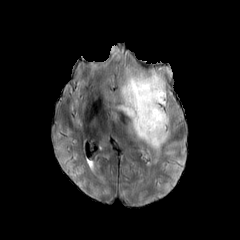
FLAIR MR image.
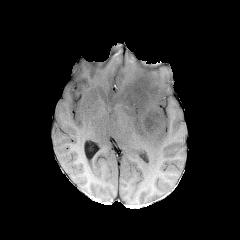
T1-weighted magnetic resonance of the same slice.
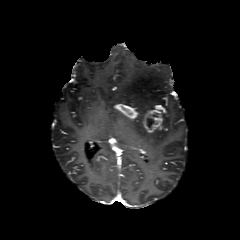
Post-contrast T1-weighted MR.
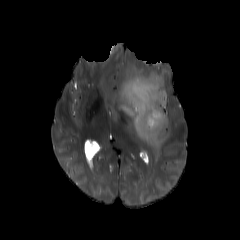
Same slice, T2-weighted MR image.
Brain
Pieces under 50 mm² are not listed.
* necrotic tumor core: l=146, t=117, r=154, b=127
* enhancing tumor: l=116, t=104, r=138, b=119; l=143, t=109, r=164, b=133
* peritumoral edema: l=115, t=68, r=170, b=151